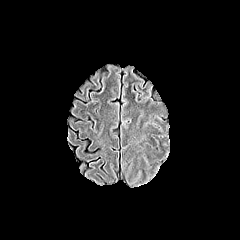
FLAIR MR.
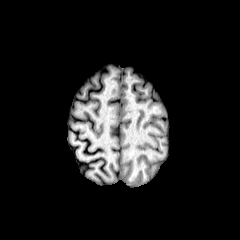
T1-weighted MRI.
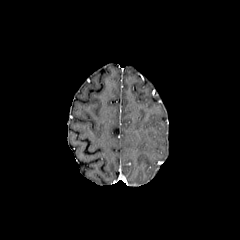
Post-contrast T1-weighted MR image.
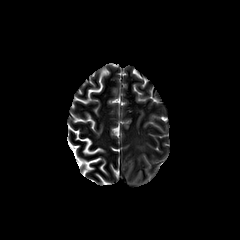
T2-weighted magnetic resonance.
240x240 | Head
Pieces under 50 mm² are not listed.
The largest peritumoral edema region appears at [135,110,143,126].